FLAIR MR image.
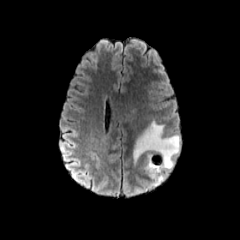
T1-weighted magnetic resonance.
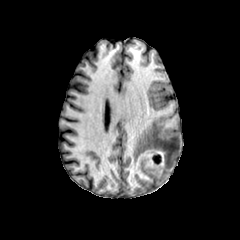
Post-contrast T1-weighted MRI.
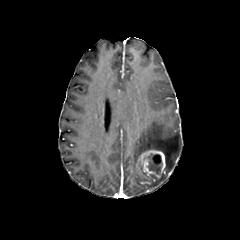
T2-weighted magnetic resonance.
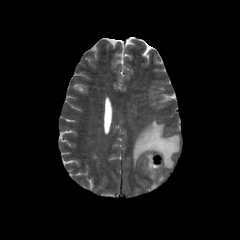
Axial plane, Head, Image size 240x240
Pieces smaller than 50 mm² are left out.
enhancing_tumor:
  - left=137, top=148, right=166, bottom=181
necrotic_tumor_core:
  - left=147, top=153, right=162, bottom=173
peritumoral_edema:
  - left=133, top=121, right=180, bottom=186